FLAIR MR image.
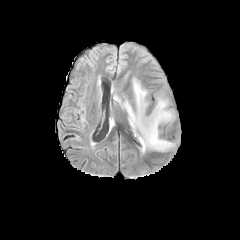
T1-weighted MR image.
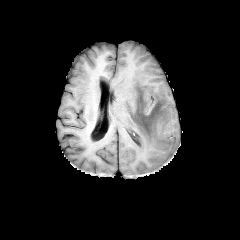
Post-contrast T1-weighted MR.
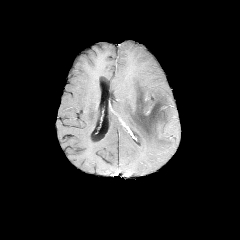
T2-weighted MR.
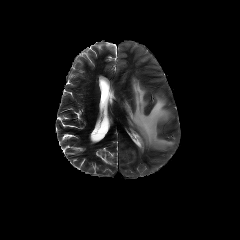
Brain
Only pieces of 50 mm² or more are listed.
The largest peritumoral edema region appears at [x1=122, y1=78, x2=174, y2=152].